FLAIR MRI.
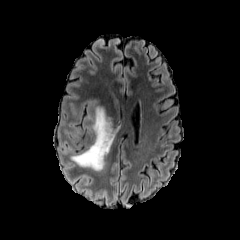
T1-weighted MR.
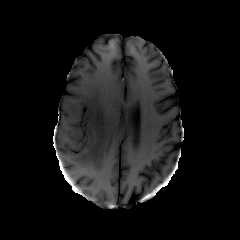
Post-contrast T1-weighted MR image.
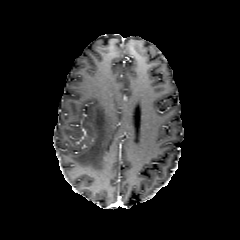
T2-weighted MR image.
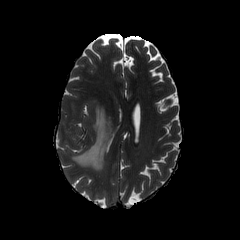
Brain
peritumoral edema: bounding box <box>71,106,115,171</box>